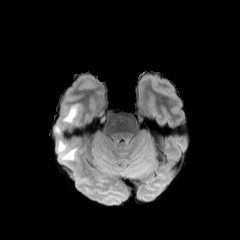
FLAIR MRI.
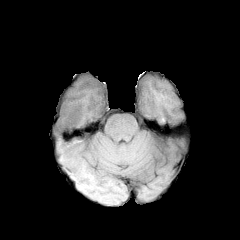
T1-weighted MRI of the same slice.
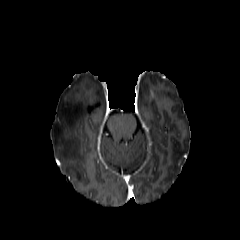
Same slice, post-contrast T1-weighted magnetic resonance.
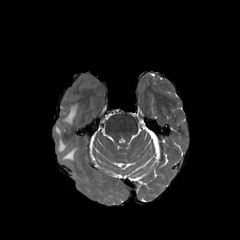
T2-weighted MR.
Image size 240x240
Segmented structures:
- peritumoral edema: box(54, 125, 61, 134); box(57, 139, 78, 162); box(62, 104, 80, 124)